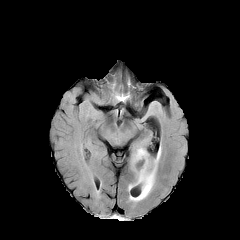
FLAIR MR.
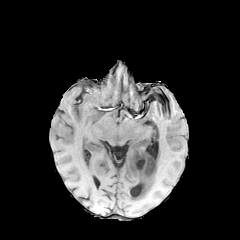
T1-weighted magnetic resonance of the same slice.
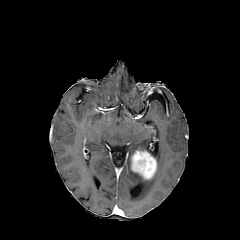
Post-contrast T1-weighted magnetic resonance.
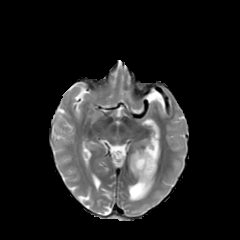
T2-weighted magnetic resonance.
Axial view | 240x240 | Brain
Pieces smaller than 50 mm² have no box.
enhancing tumor = <bbox>130, 150, 156, 179</bbox>
peritumoral edema = <bbox>128, 173, 155, 201</bbox>